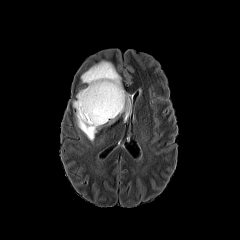
FLAIR MR.
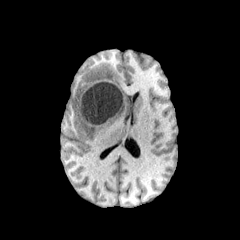
T1-weighted MR of the same slice.
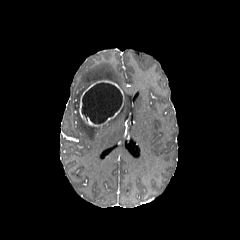
Post-contrast T1-weighted magnetic resonance.
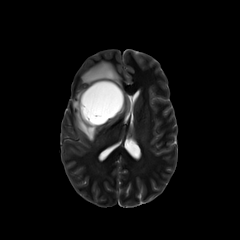
T2-weighted MR image.
Head, 240x240
{"enhancing_tumor": ["(left=79, top=80, right=124, bottom=126)"], "peritumoral_edema": ["(left=81, top=58, right=131, bottom=126)", "(left=73, top=87, right=101, bottom=141)"], "necrotic_tumor_core": ["(left=81, top=82, right=122, bottom=124)"]}